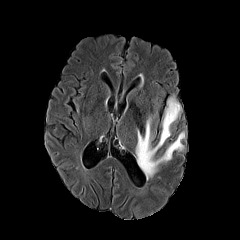
FLAIR MRI.
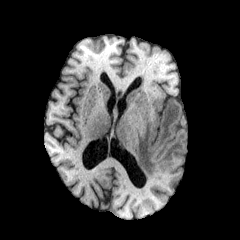
T1-weighted MR.
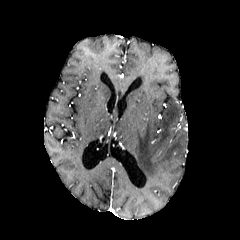
Post-contrast T1-weighted MR.
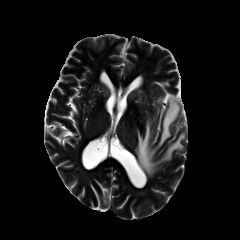
T2-weighted MRI.
240x240 px | Head
peritumoral edema = box=[135, 98, 185, 179]